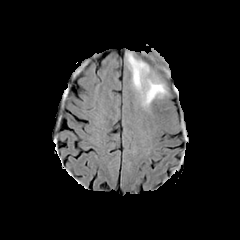
FLAIR MRI.
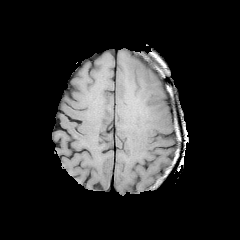
T1-weighted MR image of the same slice.
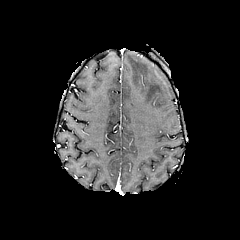
Post-contrast T1-weighted MRI.
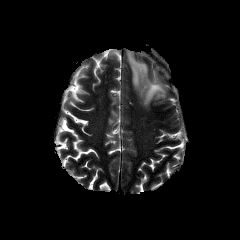
T2-weighted MRI.
Brain, Axial slice
Findings:
- peritumoral edema: 126, 53, 165, 106